FLAIR MR.
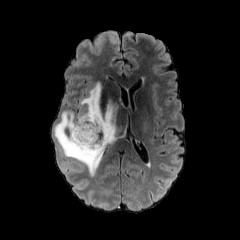
T1-weighted magnetic resonance.
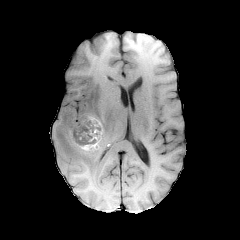
Post-contrast T1-weighted MRI.
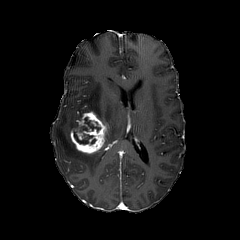
T2-weighted MR.
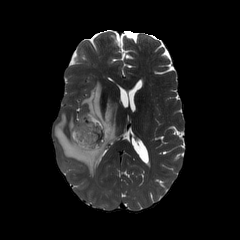
Image size 240x240. Head.
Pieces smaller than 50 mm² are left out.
The 2 largest necrotic tumor core regions are bounded by left=84, top=116, right=100, bottom=132; left=73, top=131, right=96, bottom=146. The enhancing tumor is at left=70, top=112, right=109, bottom=153. The peritumoral edema is located at left=54, top=82, right=121, bottom=175.